Image width 240 mm, Axial slice, Slice 110/155, Head
FLAIR MR image.
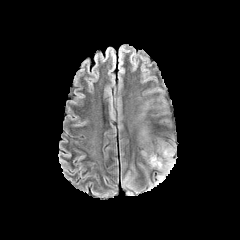
T1-weighted MR.
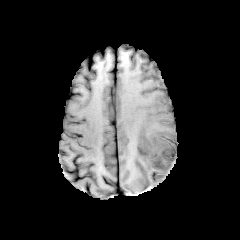
Post-contrast T1-weighted magnetic resonance.
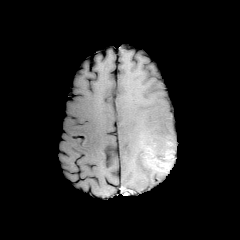
T2-weighted MRI.
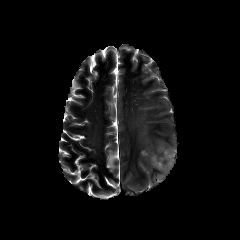
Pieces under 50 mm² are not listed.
The enhancing tumor is at [144, 145, 174, 174]. The largest peritumoral edema region is at [156, 173, 166, 183].